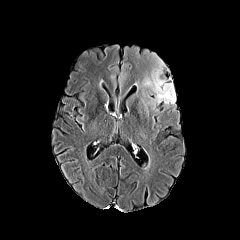
FLAIR MR.
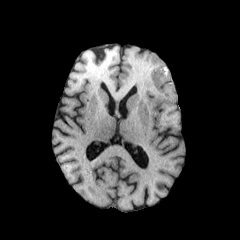
Same slice, T1-weighted MRI.
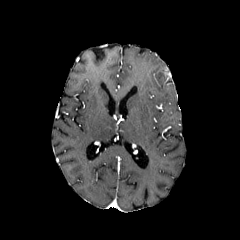
Same slice, post-contrast T1-weighted MRI.
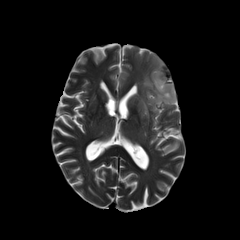
Same slice, T2-weighted magnetic resonance.
Image size 240x240
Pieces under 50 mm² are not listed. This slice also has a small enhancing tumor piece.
{"peritumoral_edema": ["rect(143, 53, 175, 110)"]}